Head; Slice 103/155; Image covers 240 mm x 240 mm; Axial plane
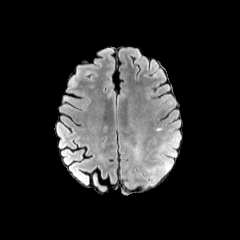
FLAIR MR image.
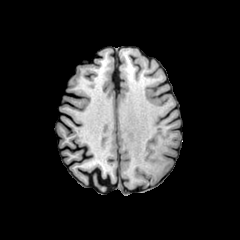
T1-weighted MR image.
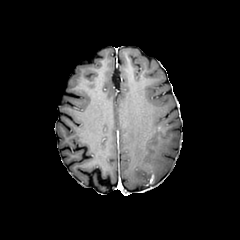
Post-contrast T1-weighted MRI of the same slice.
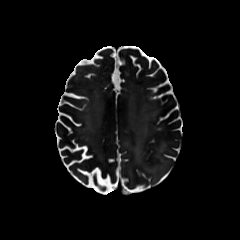
T2-weighted MRI of the same slice.
Segmented structures:
• peritumoral edema: left=146, top=167, right=160, bottom=182; left=131, top=140, right=141, bottom=160